FLAIR magnetic resonance.
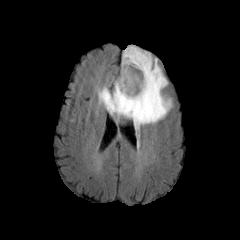
T1-weighted MRI.
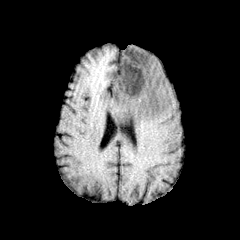
Post-contrast T1-weighted MR image.
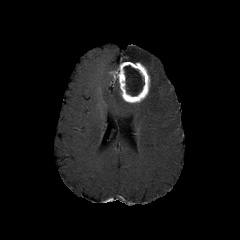
T2-weighted MR.
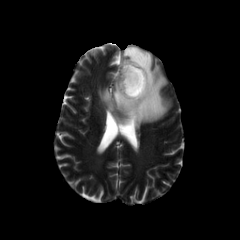
Axial view, Head
The peritumoral edema is bounded by region(98, 46, 172, 130). The necrotic tumor core is located at region(124, 65, 143, 95). The enhancing tumor appears at region(113, 61, 150, 103).